Axial view. Image covers 240 mm x 240 mm.
FLAIR MRI.
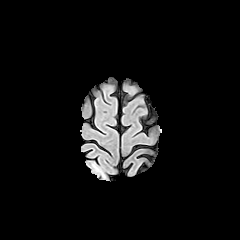
T1-weighted MRI.
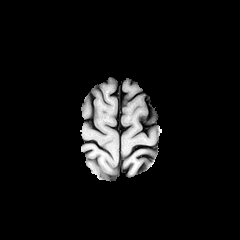
Post-contrast T1-weighted MR.
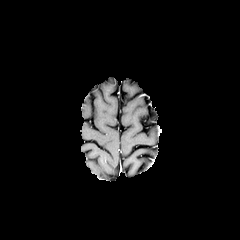
T2-weighted MR.
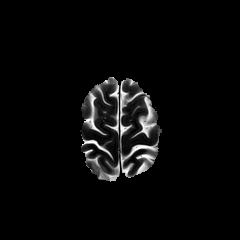
peritumoral_edema:
  - [92, 163, 105, 178]